Image width 240 mm, Axial plane, Brain
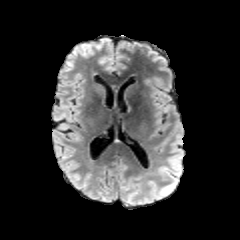
FLAIR MRI.
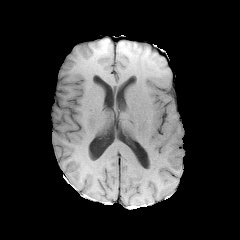
T1-weighted MR of the same slice.
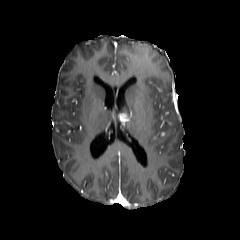
Post-contrast T1-weighted magnetic resonance.
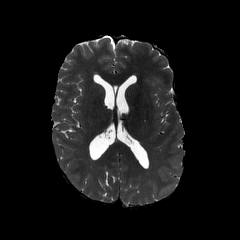
T2-weighted MR of the same slice.
enhancing tumor = [117,112,129,125]